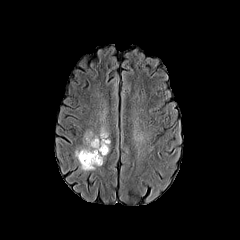
FLAIR magnetic resonance.
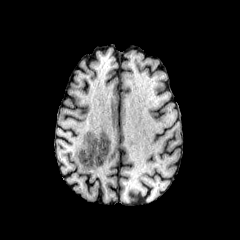
T1-weighted MR.
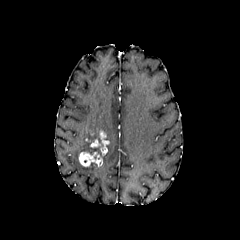
Same slice, post-contrast T1-weighted MR.
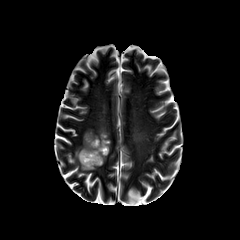
T2-weighted MR.
Axial slice | Image size 240x240
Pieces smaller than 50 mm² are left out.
enhancing tumor: {"x1": 79, "y1": 131, "x2": 109, "y2": 166}
peritumoral edema: {"x1": 81, "y1": 163, "x2": 97, "y2": 170}, {"x1": 75, "y1": 148, "x2": 90, "y2": 158}, {"x1": 83, "y1": 128, "x2": 93, "y2": 145}
necrotic tumor core: {"x1": 90, "y1": 147, "x2": 101, "y2": 155}